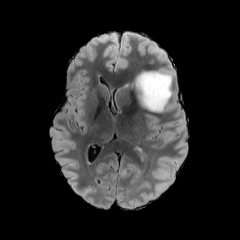
FLAIR magnetic resonance.
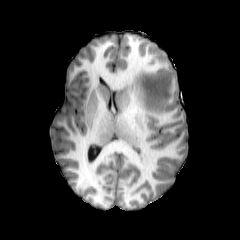
T1-weighted MR of the same slice.
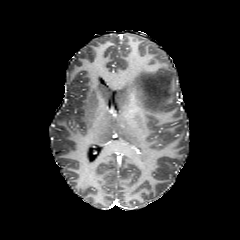
Post-contrast T1-weighted MR image.
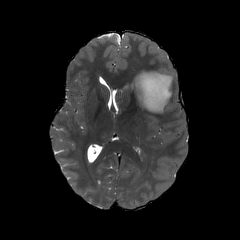
T2-weighted MR.
Image size 240x240, Head, Axial view
The peritumoral edema is bounded by (x1=129, y1=69, x2=174, y2=112).